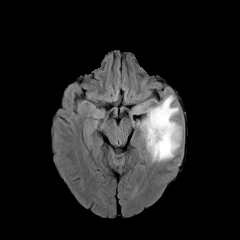
FLAIR MRI.
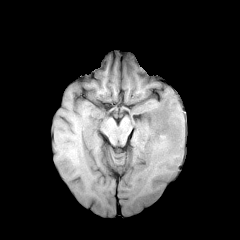
Same slice, T1-weighted magnetic resonance.
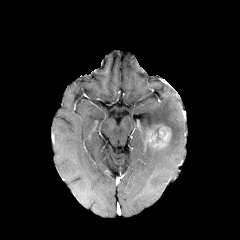
Same slice, post-contrast T1-weighted MR.
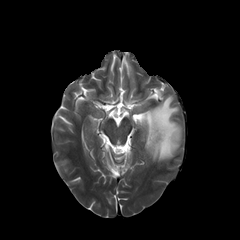
T2-weighted MRI.
Axial plane | Head
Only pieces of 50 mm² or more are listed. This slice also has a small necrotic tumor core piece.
* enhancing tumor: (147, 125, 171, 148)
* peritumoral edema: (129, 95, 182, 162)